FLAIR MR image.
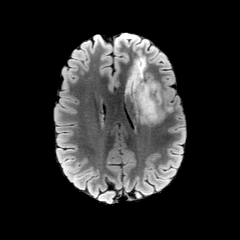
T1-weighted MR.
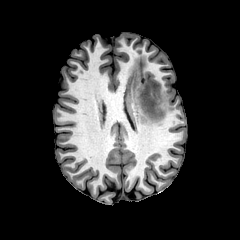
Post-contrast T1-weighted magnetic resonance.
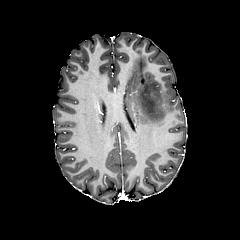
T2-weighted magnetic resonance.
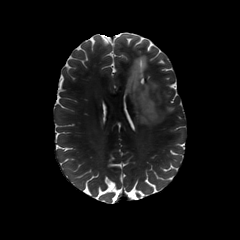
Axial view. 240x240.
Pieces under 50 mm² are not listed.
peritumoral edema: <bbox>125, 58, 163, 124</bbox>